240x240
FLAIR magnetic resonance.
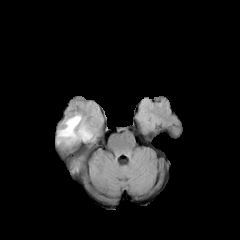
T1-weighted MR image.
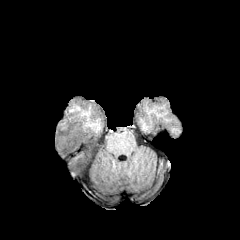
Post-contrast T1-weighted MR image.
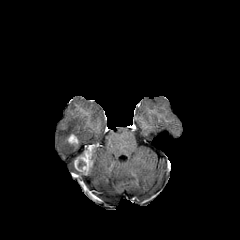
T2-weighted MRI.
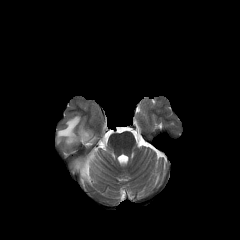
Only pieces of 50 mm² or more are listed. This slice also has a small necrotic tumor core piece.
enhancing tumor — bbox(66, 134, 78, 145); bbox(74, 145, 93, 173)
peritumoral edema — bbox(56, 114, 94, 145)